Brain
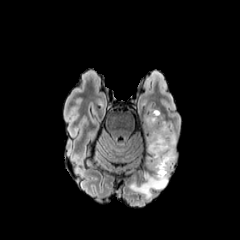
FLAIR MR image.
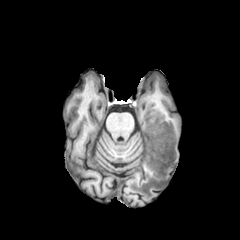
T1-weighted MR image.
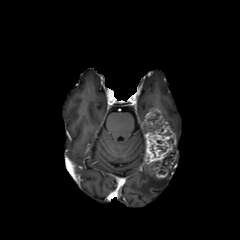
Post-contrast T1-weighted MRI of the same slice.
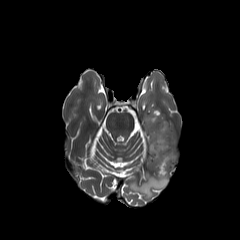
T2-weighted magnetic resonance.
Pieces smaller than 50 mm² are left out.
Segmented structures:
- necrotic tumor core: 153:152:174:174
- peritumoral edema: 168:122:177:142, 130:171:168:198
- enhancing tumor: 143:108:176:178